Axial plane, Image width 240 mm, Head
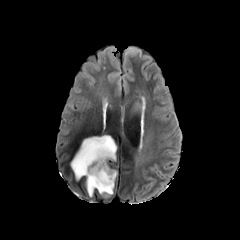
FLAIR magnetic resonance.
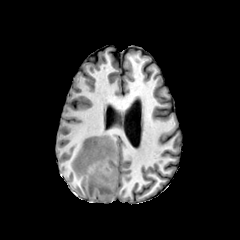
T1-weighted MRI.
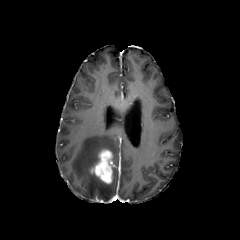
Same slice, post-contrast T1-weighted magnetic resonance.
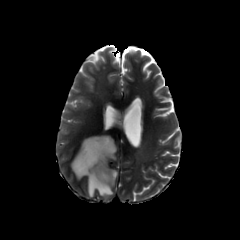
T2-weighted MR of the same slice.
<segmentation>
  <enhancing_tumor>box(90, 149, 112, 183)</enhancing_tumor>
  <peritumoral_edema>box(71, 135, 117, 197)</peritumoral_edema>
</segmentation>